240x240, Image covers 240 mm x 240 mm
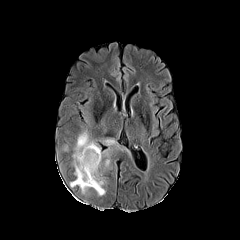
FLAIR MR.
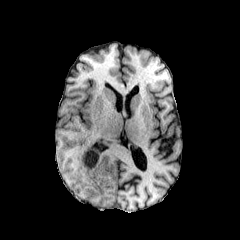
T1-weighted MRI.
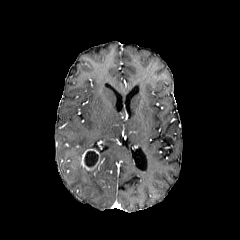
Post-contrast T1-weighted MR.
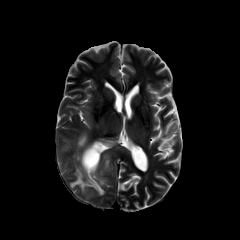
T2-weighted MR.
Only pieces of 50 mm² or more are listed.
peritumoral edema — bbox(104, 154, 110, 168); bbox(70, 132, 105, 195)
enhancing tumor — bbox(81, 148, 99, 171)
necrotic tumor core — bbox(84, 151, 98, 167)